FLAIR MR.
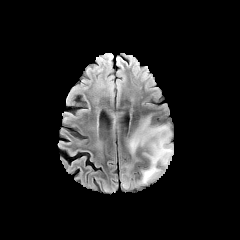
T1-weighted MR.
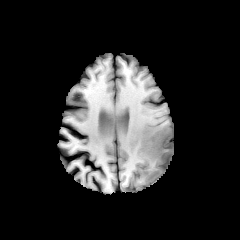
Post-contrast T1-weighted magnetic resonance.
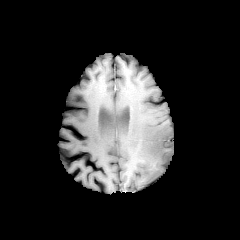
T2-weighted MR.
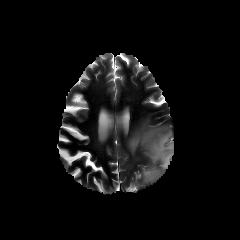
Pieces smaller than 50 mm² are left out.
necrotic_tumor_core:
  - 158:137:170:149
peritumoral_edema:
  - 167:142:173:164
  - 128:118:172:183
enhancing_tumor:
  - 156:150:170:165
  - 154:136:172:149